FLAIR MR image.
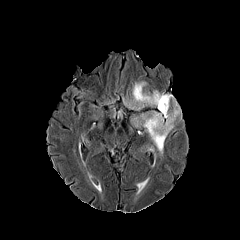
T1-weighted magnetic resonance.
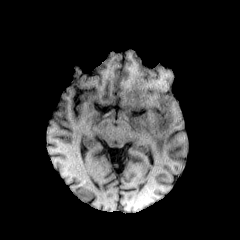
Post-contrast T1-weighted magnetic resonance.
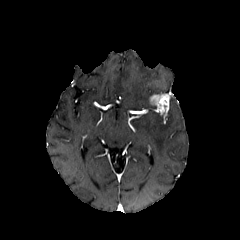
T2-weighted magnetic resonance.
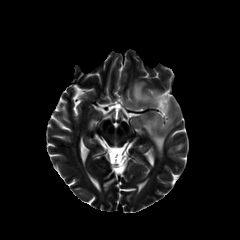
Axial slice. 240x240. Head.
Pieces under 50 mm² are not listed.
peritumoral edema at (left=142, top=102, right=180, bottom=155), (left=131, top=82, right=151, bottom=108)
enhancing tumor at (left=149, top=93, right=171, bottom=118)